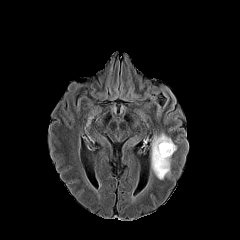
FLAIR magnetic resonance.
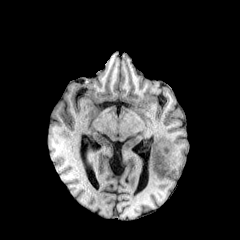
Same slice, T1-weighted MR.
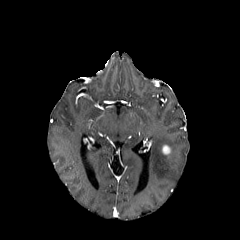
Post-contrast T1-weighted MR.
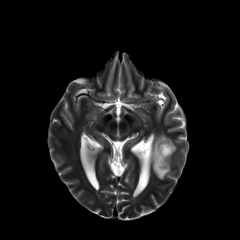
Same slice, T2-weighted MR.
Head, 240x240
* enhancing tumor: 162 145 171 154
* peritumoral edema: 151 133 176 179